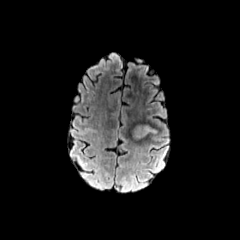
FLAIR MRI.
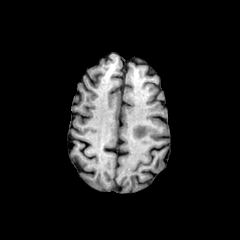
T1-weighted magnetic resonance.
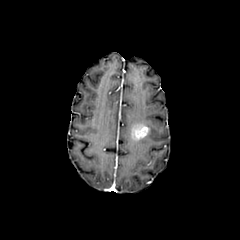
Post-contrast T1-weighted magnetic resonance.
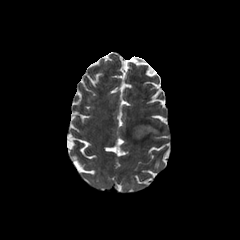
T2-weighted MR.
Brain.
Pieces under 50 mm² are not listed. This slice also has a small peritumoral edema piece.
enhancing_tumor:
  - 131,123,149,140